Head. Axial view. Image width 240 mm, 1.00 mm slice spacing. Slice index 111.
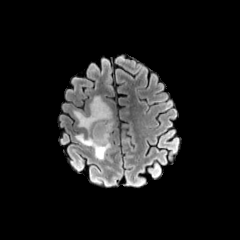
FLAIR MR image.
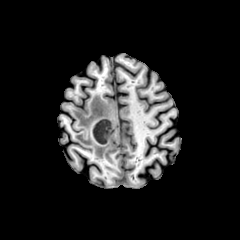
T1-weighted MR of the same slice.
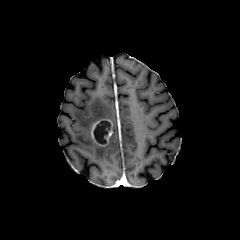
Post-contrast T1-weighted MRI of the same slice.
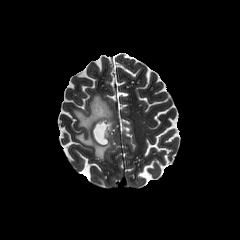
T2-weighted MRI.
necrotic tumor core — rect(93, 120, 110, 144)
peritumoral edema — rect(73, 95, 114, 159)
enhancing tumor — rect(91, 118, 112, 146)